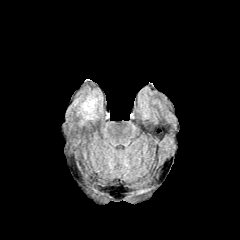
FLAIR MR image.
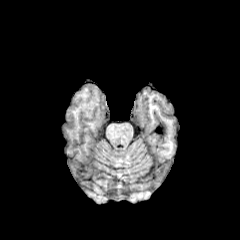
T1-weighted magnetic resonance.
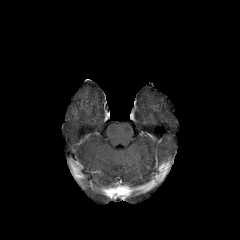
Same slice, post-contrast T1-weighted MR image.
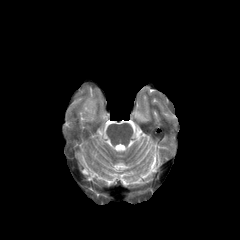
T2-weighted magnetic resonance.
Axial view; 240x240; Head
peritumoral edema at rect(73, 91, 102, 124)